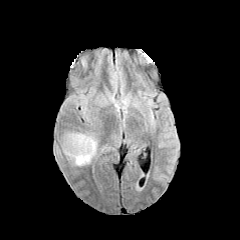
FLAIR magnetic resonance.
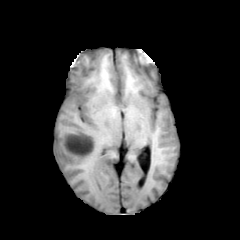
T1-weighted MR image.
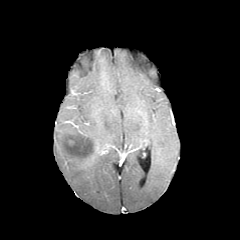
Same slice, post-contrast T1-weighted MR.
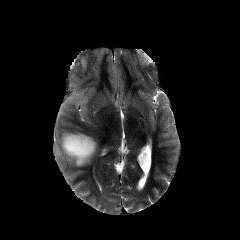
T2-weighted MR image of the same slice.
Head, 240x240 px, Axial slice
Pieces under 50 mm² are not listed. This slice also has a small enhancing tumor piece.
peritumoral edema: bounding box (61,133,97,166)